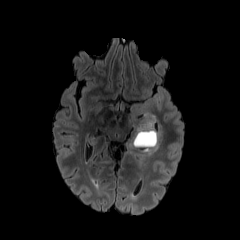
FLAIR MRI.
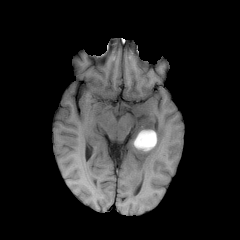
T1-weighted MRI.
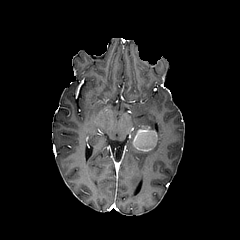
Post-contrast T1-weighted MR image.
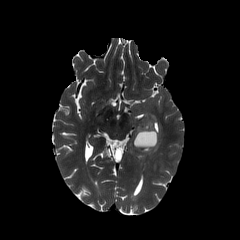
T2-weighted MRI.
Head | Axial plane
The enhancing tumor is located at 133:126:157:151. The necrotic tumor core appears at 136:132:155:148. 2 peritumoral edema regions are bounded by 144:124:161:154, 137:114:156:129.